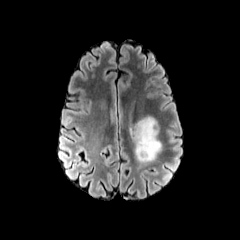
FLAIR magnetic resonance.
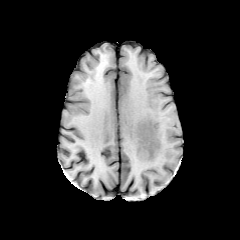
T1-weighted MRI.
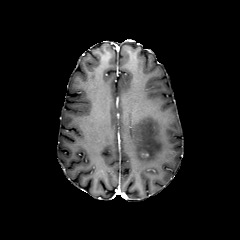
Post-contrast T1-weighted MRI.
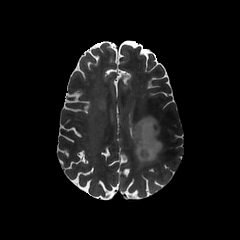
Same slice, T2-weighted MR image.
Image size 240x240.
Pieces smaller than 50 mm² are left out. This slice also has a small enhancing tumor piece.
{
  "peritumoral_edema": [
    "129 116 161 170"
  ]
}